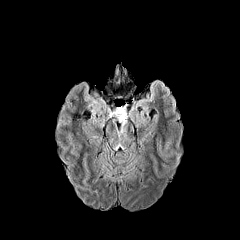
FLAIR MRI.
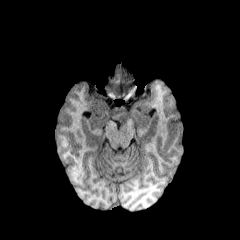
T1-weighted MR.
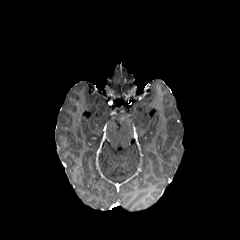
Post-contrast T1-weighted magnetic resonance.
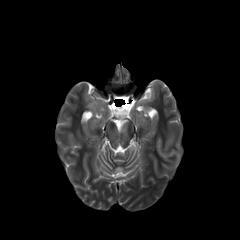
Same slice, T2-weighted MRI.
Axial view
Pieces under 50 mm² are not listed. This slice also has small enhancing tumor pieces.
The 2 largest peritumoral edema regions appear at 89:101:105:111, 108:106:133:139.